Slice 57/155. Image width 240 mm, 1.00 mm slice spacing. Head. Axial plane.
FLAIR MR image.
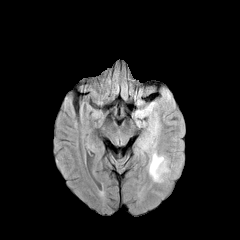
T1-weighted magnetic resonance.
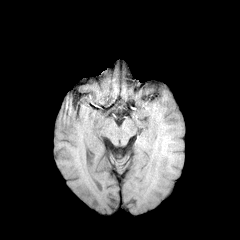
Post-contrast T1-weighted magnetic resonance.
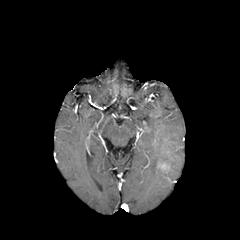
T2-weighted MRI.
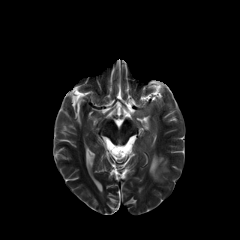
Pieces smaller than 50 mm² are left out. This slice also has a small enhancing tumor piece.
peritumoral edema: x1=149, y1=150, x2=168, y2=181; x1=132, y1=102, x2=161, y2=150